Axial slice | Slice index 63 | 240x240 px
FLAIR MR.
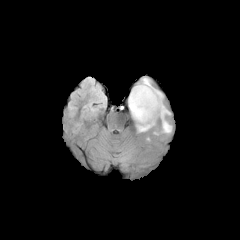
T1-weighted magnetic resonance.
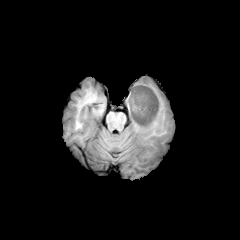
Post-contrast T1-weighted MR image.
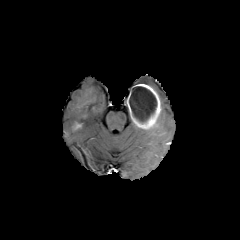
T2-weighted MR.
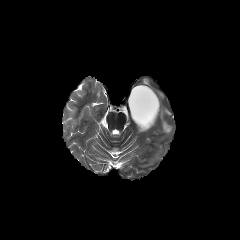
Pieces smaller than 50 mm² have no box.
peritumoral edema: bounding box l=154, t=88, r=171, b=133; l=139, t=78, r=151, b=86
necrotic tumor core: bounding box l=129, t=86, r=156, b=122
enhancing tumor: bounding box l=127, t=84, r=161, b=129